FLAIR MR.
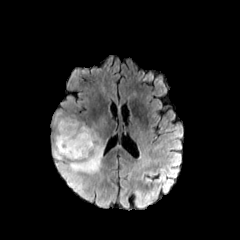
T1-weighted magnetic resonance.
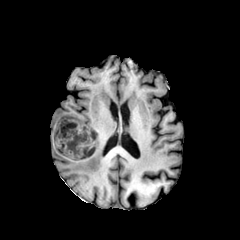
Post-contrast T1-weighted magnetic resonance.
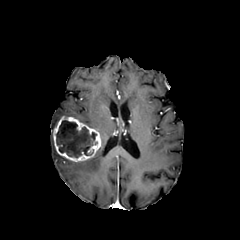
T2-weighted MRI.
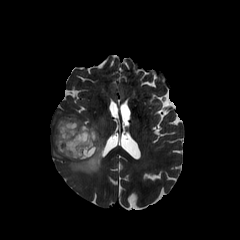
Brain
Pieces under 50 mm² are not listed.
The 2 largest peritumoral edema regions appear at region(52, 110, 77, 130); region(52, 116, 106, 200). The enhancing tumor is bounded by region(53, 116, 101, 161). The largest necrotic tumor core region is located at region(56, 120, 96, 157).